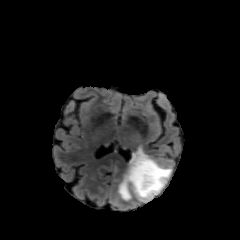
FLAIR MR.
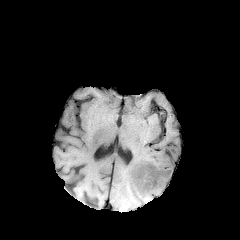
T1-weighted MRI.
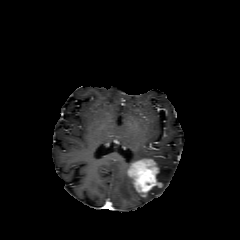
Post-contrast T1-weighted magnetic resonance.
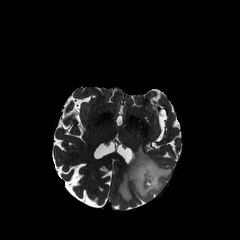
T2-weighted MR.
Axial view | Image size 240x240
peritumoral_edema:
  - (left=118, top=159, right=172, bottom=202)
  - (left=128, top=146, right=152, bottom=168)
enhancing_tumor:
  - (left=127, top=159, right=162, bottom=196)